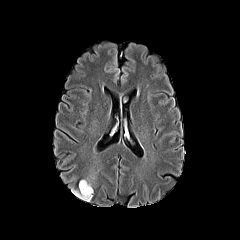
FLAIR MR.
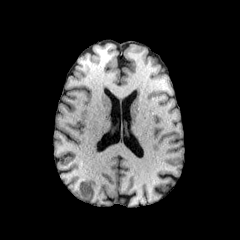
T1-weighted MR.
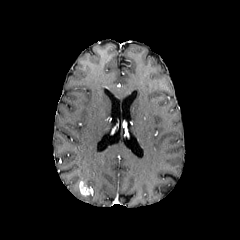
Post-contrast T1-weighted magnetic resonance.
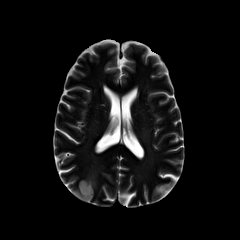
Same slice, T2-weighted MR image.
Brain; Axial view
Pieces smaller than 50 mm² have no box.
peritumoral_edema:
  - bbox=[71, 188, 92, 201]
enhancing_tumor:
  - bbox=[79, 181, 93, 196]